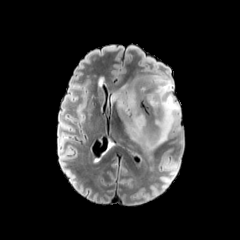
FLAIR MRI.
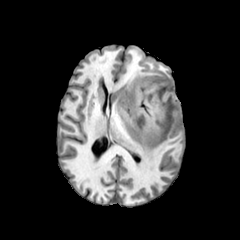
T1-weighted MR image of the same slice.
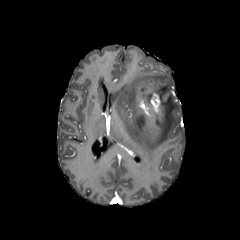
Post-contrast T1-weighted MRI of the same slice.
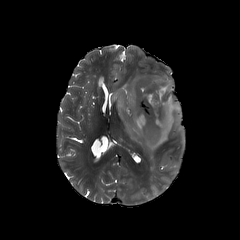
T2-weighted magnetic resonance.
240x240.
The enhancing tumor appears at <bbox>149, 93, 160, 117</bbox>. The peritumoral edema is bounded by <bbox>111, 70, 180, 154</bbox>.